Brain | Slice 72 of 155
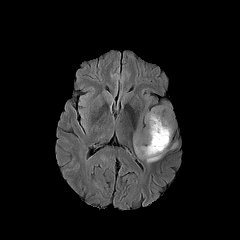
FLAIR MR.
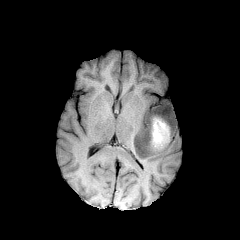
T1-weighted magnetic resonance.
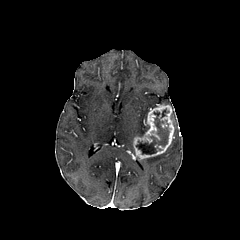
Same slice, post-contrast T1-weighted MR image.
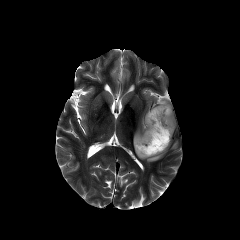
T2-weighted MR image.
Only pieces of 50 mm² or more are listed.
Segmented structures:
* peritumoral edema: region(141, 153, 164, 162)
* enhancing tumor: region(133, 103, 174, 158)
* necrotic tumor core: region(136, 112, 168, 154)